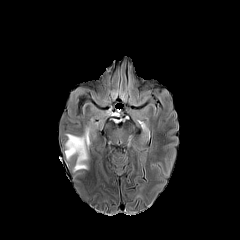
FLAIR MR image.
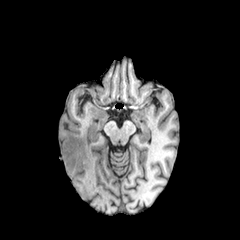
T1-weighted magnetic resonance of the same slice.
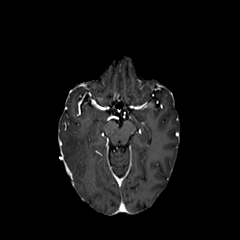
Same slice, post-contrast T1-weighted MRI.
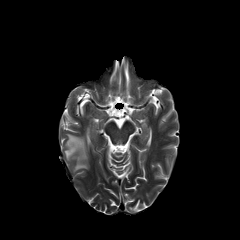
T2-weighted magnetic resonance.
{
  "peritumoral_edema": [
    "x1=65, y1=131, x2=90, y2=171"
  ]
}